FLAIR MR image.
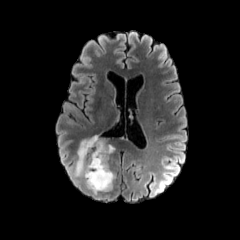
T1-weighted MR image.
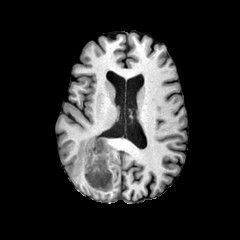
Post-contrast T1-weighted magnetic resonance.
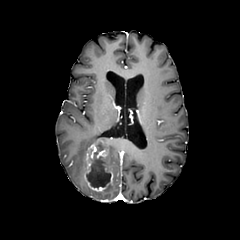
T2-weighted MR.
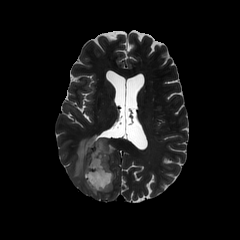
Axial view. Brain. 240x240.
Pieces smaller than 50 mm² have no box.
<segmentation>
  <necrotic_tumor_core>(86,143,110,187)</necrotic_tumor_core>
  <peritumoral_edema>(75,135,98,174)</peritumoral_edema>
  <enhancing_tumor>(84,138,113,191)</enhancing_tumor>
</segmentation>